Slice 123 of 155
FLAIR magnetic resonance.
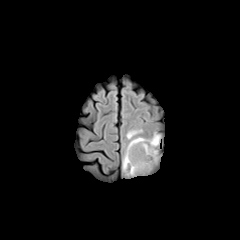
T1-weighted MR image.
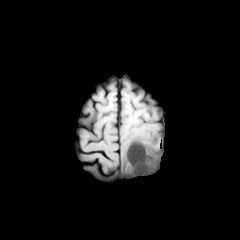
Post-contrast T1-weighted MR.
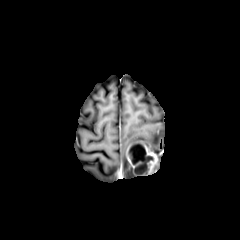
T2-weighted MR.
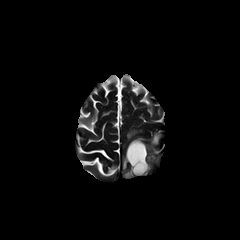
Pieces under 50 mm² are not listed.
Annotated regions:
• necrotic tumor core: <box>132,145,145,163</box>, <box>135,163,147,174</box>
• enhancing tumor: <box>127,142,157,176</box>
• peritumoral edema: <box>122,129,160,176</box>